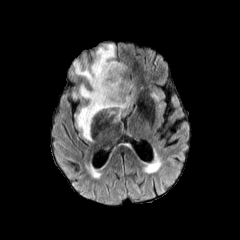
FLAIR MR image.
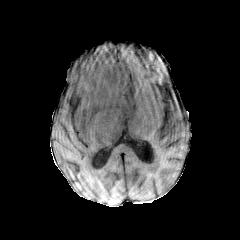
Same slice, T1-weighted magnetic resonance.
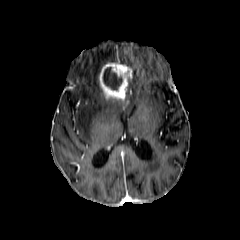
Post-contrast T1-weighted magnetic resonance.
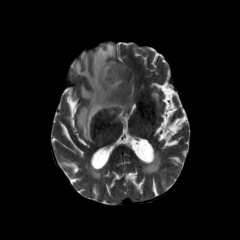
Same slice, T2-weighted magnetic resonance.
Axial view. Brain.
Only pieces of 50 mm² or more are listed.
necrotic tumor core at (left=103, top=67, right=122, bottom=89)
enhancing tumor at (left=98, top=62, right=131, bottom=108)
peritumoral edema at (left=74, top=44, right=122, bottom=139), (left=126, top=79, right=131, bottom=107)